FLAIR MR image.
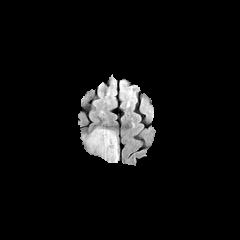
T1-weighted magnetic resonance.
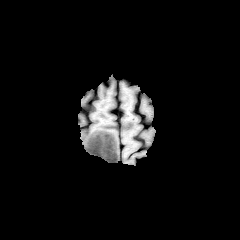
Post-contrast T1-weighted magnetic resonance.
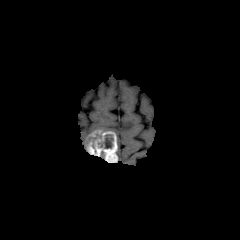
T2-weighted MR.
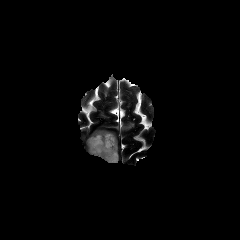
Brain; 240x240 px
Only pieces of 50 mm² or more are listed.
enhancing tumor at <bbox>86, 130, 117, 162</bbox>
necrotic tumor core at <bbox>104, 135, 113, 148</bbox>
peritumoral edema at <bbox>82, 130, 95, 150</bbox>